Axial view | 240x240 | Image width 240 mm, 1.00 mm slice spacing
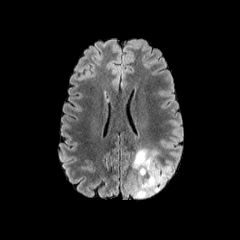
FLAIR MR.
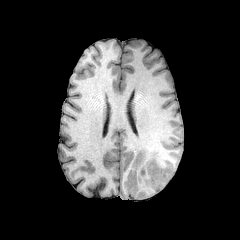
T1-weighted MR of the same slice.
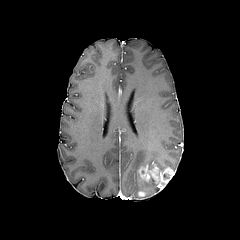
Post-contrast T1-weighted MR.
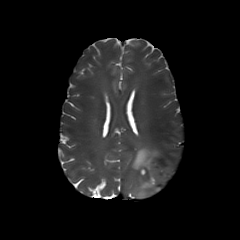
T2-weighted MR.
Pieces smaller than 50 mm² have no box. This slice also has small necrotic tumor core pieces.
The peritumoral edema is bounded by [131,148,174,198]. The largest enhancing tumor region appears at [138,163,173,188].